Axial view, Brain
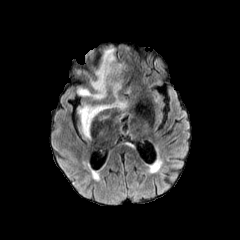
FLAIR magnetic resonance.
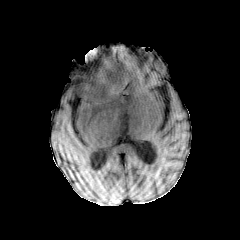
T1-weighted MR image.
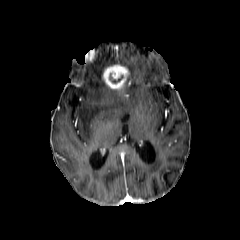
Post-contrast T1-weighted MRI.
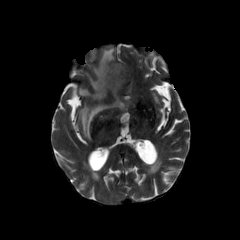
T2-weighted MR image.
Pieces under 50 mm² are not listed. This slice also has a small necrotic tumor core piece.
peritumoral edema — x1=78, y1=90, x2=129, y2=137; x1=78, y1=47, x2=114, y2=99
enhancing tumor — x1=102, y1=64, x2=129, y2=91